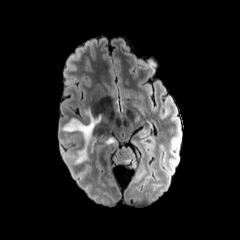
FLAIR magnetic resonance.
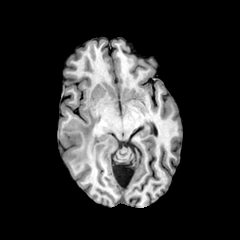
T1-weighted MRI of the same slice.
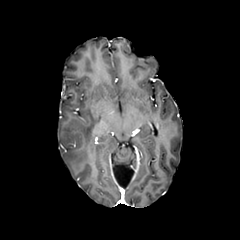
Post-contrast T1-weighted MRI.
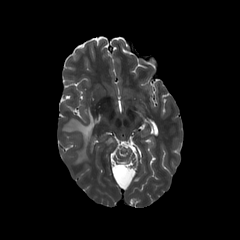
T2-weighted MRI.
240x240 px | Head
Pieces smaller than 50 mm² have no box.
<segmentation>
  <peritumoral_edema>[x1=76, y1=149, x2=86, y2=162], [x1=63, y1=108, x2=101, y2=145]</peritumoral_edema>
</segmentation>